Slice 68 of 155. Axial plane. Head.
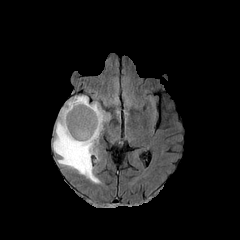
FLAIR MRI.
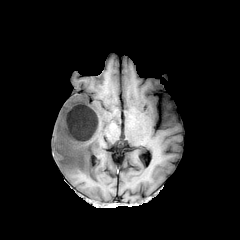
T1-weighted MR.
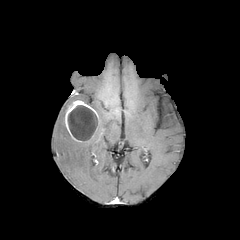
Same slice, post-contrast T1-weighted MRI.
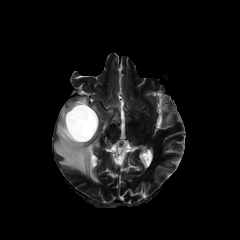
T2-weighted magnetic resonance.
enhancing_tumor:
  - box(64, 100, 99, 142)
necrotic_tumor_core:
  - box(68, 105, 97, 141)
peritumoral_edema:
  - box(53, 95, 107, 183)